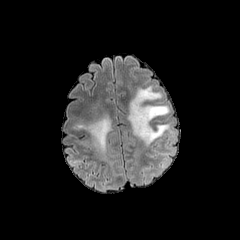
FLAIR MR.
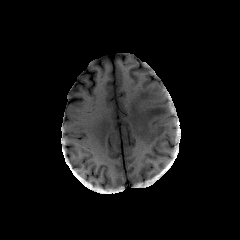
T1-weighted MR.
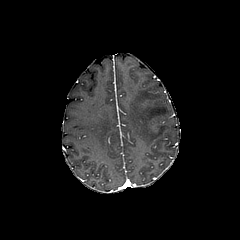
Same slice, post-contrast T1-weighted MRI.
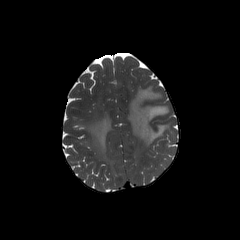
T2-weighted MR of the same slice.
240x240 px.
2 peritumoral edema regions are bounded by l=75, t=115, r=112, b=158; l=127, t=86, r=173, b=146.